FLAIR MR.
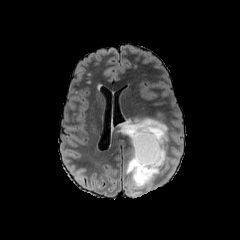
T1-weighted MRI.
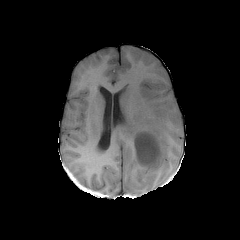
Post-contrast T1-weighted MR image.
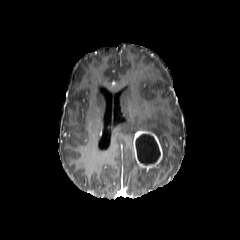
T2-weighted MR.
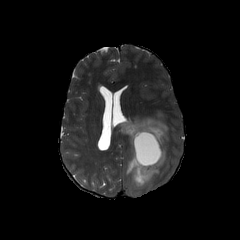
Head, Axial plane
The necrotic tumor core is bounded by rect(135, 134, 160, 165). The enhancing tumor is located at rect(133, 130, 162, 171). The peritumoral edema is at rect(120, 111, 169, 188).